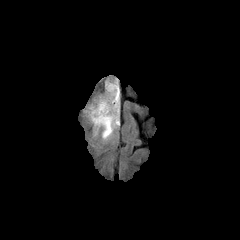
FLAIR magnetic resonance.
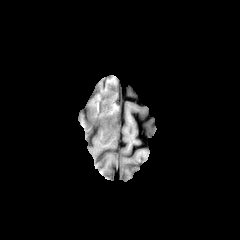
T1-weighted magnetic resonance.
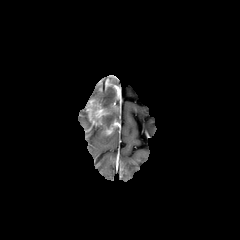
Same slice, post-contrast T1-weighted MR.
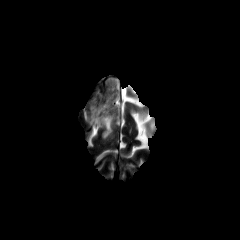
T2-weighted MRI.
Axial plane. Brain.
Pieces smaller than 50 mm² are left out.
enhancing tumor — l=86, t=80, r=120, b=135
peritumoral edema — l=101, t=130, r=113, b=140
necrotic tumor core — l=95, t=86, r=119, b=128